FLAIR magnetic resonance.
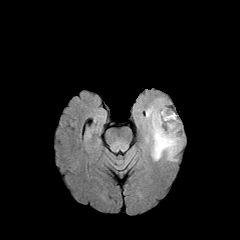
T1-weighted magnetic resonance.
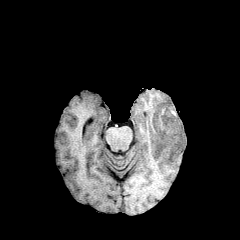
Post-contrast T1-weighted magnetic resonance.
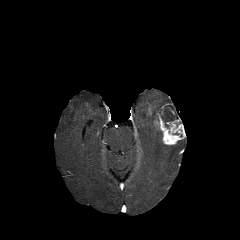
T2-weighted MR.
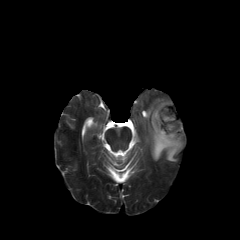
Head. Axial view.
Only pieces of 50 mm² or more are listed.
peritumoral_edema:
  - box=[144, 98, 183, 161]
necrotic_tumor_core:
  - box=[161, 105, 178, 127]
enhancing_tumor:
  - box=[153, 103, 185, 145]